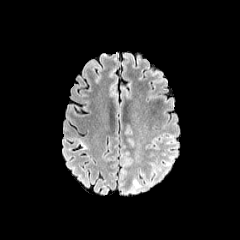
FLAIR MRI.
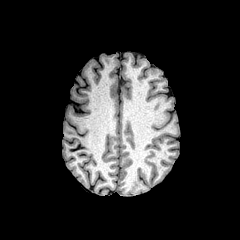
T1-weighted MR.
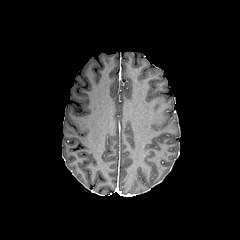
Post-contrast T1-weighted MR.
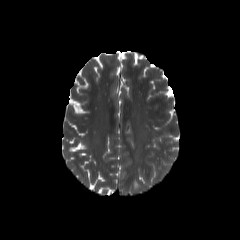
T2-weighted MR of the same slice.
Head
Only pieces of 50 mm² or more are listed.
peritumoral edema = <box>133,178,140,189</box>